Axial view | Image covers 240 mm x 240 mm | Brain | Slice index 82
FLAIR MRI.
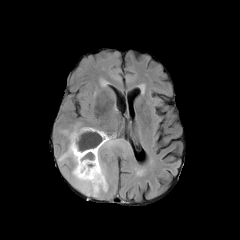
T1-weighted MRI.
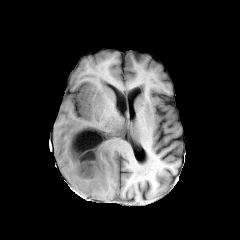
Post-contrast T1-weighted MRI.
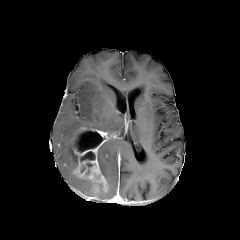
T2-weighted MR image.
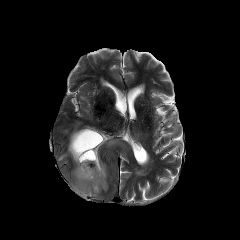
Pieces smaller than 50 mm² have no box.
necrotic_tumor_core:
  - bbox=[73, 130, 104, 152]
  - bbox=[80, 151, 95, 161]
peritumoral_edema:
  - bbox=[72, 171, 103, 197]
  - bbox=[58, 126, 79, 170]
  - bbox=[98, 138, 122, 180]
enhancing_tumor:
  - bbox=[71, 127, 116, 194]